Head, Image width 240 mm, 1.00 mm slice spacing
FLAIR magnetic resonance.
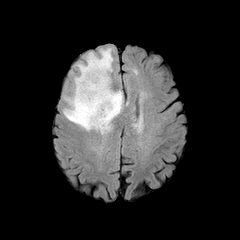
T1-weighted MR image.
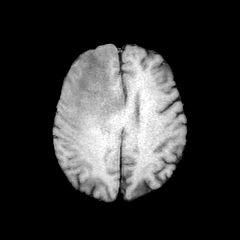
Post-contrast T1-weighted MRI.
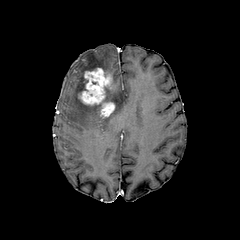
T2-weighted MRI.
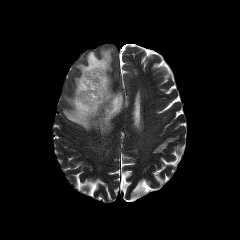
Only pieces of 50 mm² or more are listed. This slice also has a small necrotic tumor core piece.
peritumoral_edema:
  - [63, 48, 123, 133]
enhancing_tumor:
  - [78, 67, 115, 117]